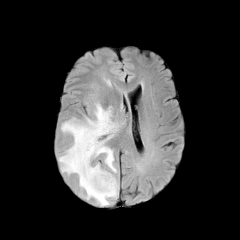
FLAIR MR.
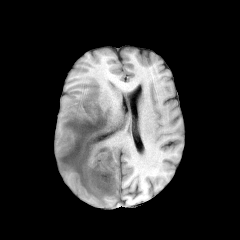
Same slice, T1-weighted MR image.
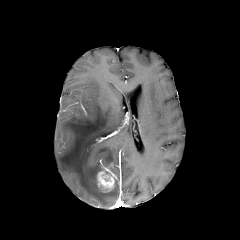
Same slice, post-contrast T1-weighted magnetic resonance.
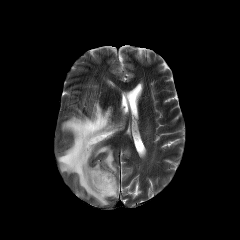
T2-weighted MRI.
Head. Axial plane.
Findings:
• enhancing tumor: [x1=96, y1=165, x2=115, y2=192]
• peritumoral edema: [x1=58, y1=102, x2=121, y2=205]